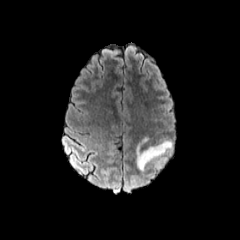
FLAIR MR image.
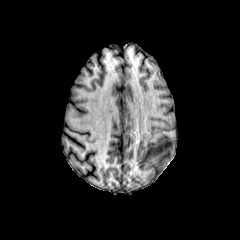
Same slice, T1-weighted magnetic resonance.
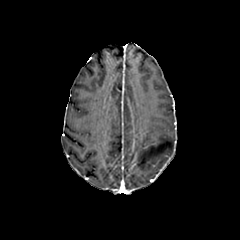
Post-contrast T1-weighted MR.
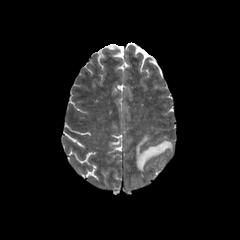
T2-weighted MRI.
Head, Axial slice, Image size 240x240
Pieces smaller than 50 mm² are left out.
peritumoral_edema:
  - region(136, 140, 172, 170)